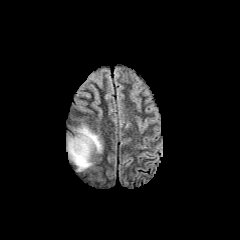
FLAIR magnetic resonance.
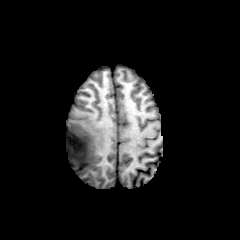
T1-weighted MR of the same slice.
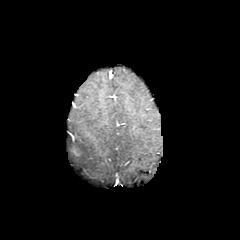
Post-contrast T1-weighted MRI.
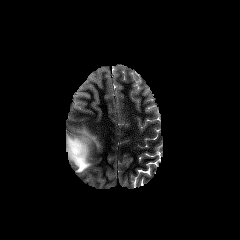
T2-weighted MR image of the same slice.
Image size 240x240. Axial plane.
<segmentation>
  <peritumoral_edema><box>66,125,102,171</box></peritumoral_edema>
</segmentation>